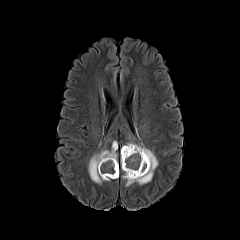
FLAIR MR.
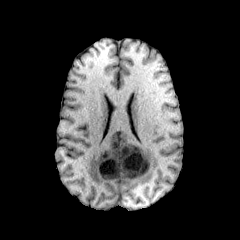
Same slice, T1-weighted MR image.
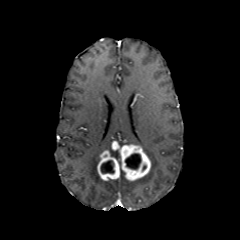
Same slice, post-contrast T1-weighted MR.
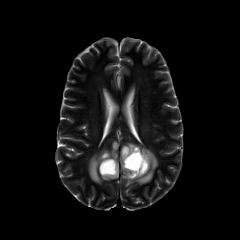
T2-weighted MR.
240x240; Axial slice; Brain
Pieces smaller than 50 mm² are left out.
The 3 largest peritumoral edema regions are bounded by (88, 147, 106, 184), (125, 140, 158, 186), (109, 148, 117, 159). 3 enhancing tumor regions are located at (120, 144, 150, 180), (97, 150, 119, 180), (111, 141, 118, 150). The 2 largest necrotic tumor core regions are located at (125, 153, 141, 169), (100, 160, 114, 173).